Axial view
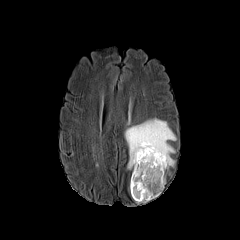
FLAIR MR.
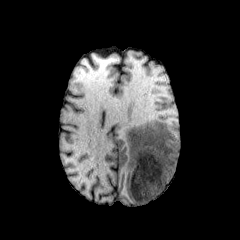
T1-weighted magnetic resonance.
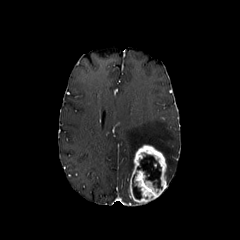
Post-contrast T1-weighted MR image of the same slice.
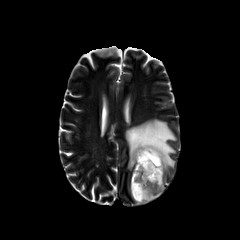
Same slice, T2-weighted magnetic resonance.
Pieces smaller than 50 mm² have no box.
Annotated regions:
• peritumoral edema: (x1=125, y1=118, x2=176, y2=173)
• enhancing tumor: (x1=129, y1=144, x2=166, y2=203)
• necrotic tumor core: (x1=132, y1=174, x2=141, y2=199), (x1=137, y1=154, x2=161, y2=188)